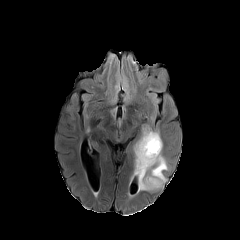
FLAIR MR image.
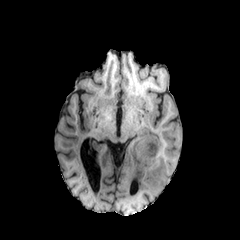
T1-weighted MRI of the same slice.
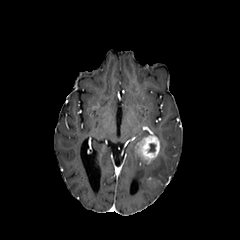
Post-contrast T1-weighted MR image of the same slice.
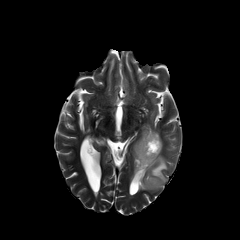
Same slice, T2-weighted MR image.
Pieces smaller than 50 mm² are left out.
• peritumoral edema: bbox=[134, 132, 167, 190]
• necrotic tumor core: bbox=[149, 144, 156, 152]
• enhancing tumor: bbox=[135, 134, 159, 163]; bbox=[147, 176, 162, 187]